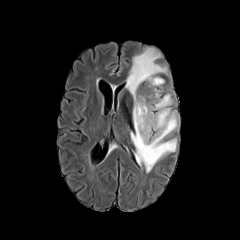
FLAIR MRI.
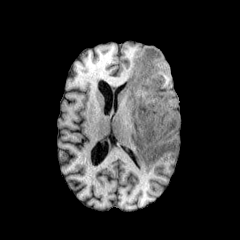
T1-weighted MR image.
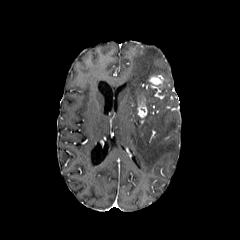
Post-contrast T1-weighted MRI.
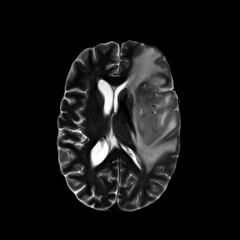
Same slice, T2-weighted MRI.
Axial view, Brain, Image size 240x240
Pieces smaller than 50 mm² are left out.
The largest peritumoral edema region lies within 125,48,177,172. The 2 largest enhancing tumor regions appear at 137,98,147,122; 148,75,163,88.